Head.
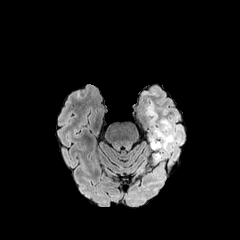
FLAIR magnetic resonance.
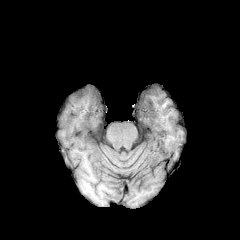
T1-weighted MR image.
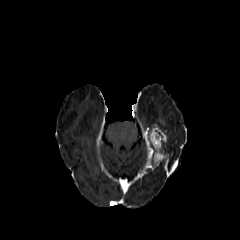
Post-contrast T1-weighted magnetic resonance of the same slice.
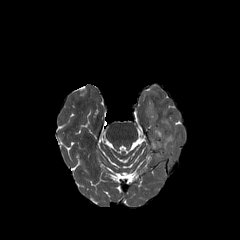
T2-weighted MR of the same slice.
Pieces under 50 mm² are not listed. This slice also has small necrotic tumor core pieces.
peritumoral edema: [146, 101, 159, 127], [159, 118, 174, 152], [156, 168, 161, 179] | enhancing tumor: [148, 125, 168, 165]